240x240 px, Head, Axial slice, Slice 65 of 155
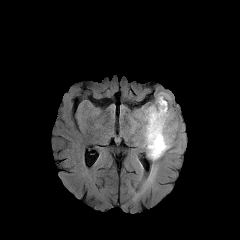
FLAIR MR image.
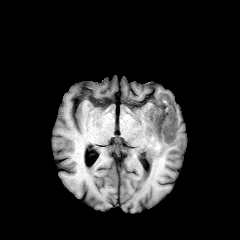
T1-weighted magnetic resonance.
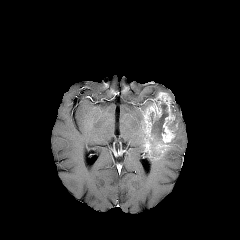
Post-contrast T1-weighted magnetic resonance of the same slice.
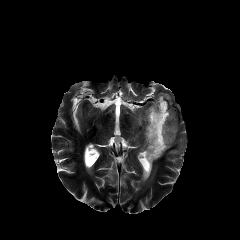
T2-weighted magnetic resonance of the same slice.
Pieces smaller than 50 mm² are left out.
enhancing tumor: left=143, top=92, right=177, bottom=156 | peritumoral edema: left=132, top=90, right=164, bottom=151; left=145, top=152, right=160, bottom=181; left=170, top=114, right=178, bottom=147 | necrotic tumor core: left=150, top=103, right=168, bottom=156